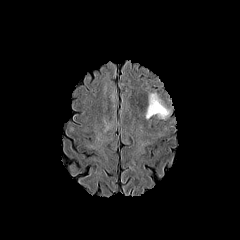
FLAIR MRI.
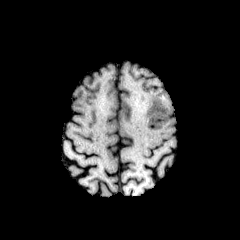
T1-weighted magnetic resonance.
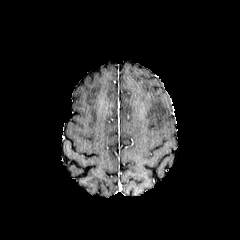
Post-contrast T1-weighted MRI.
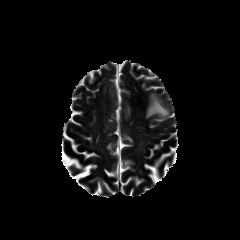
T2-weighted MR image.
Axial view; 240x240
peritumoral edema: <bbox>145, 93, 169, 119</bbox>